FLAIR MRI.
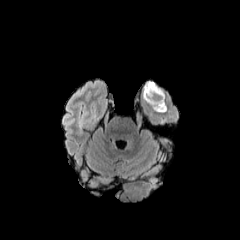
T1-weighted MR image.
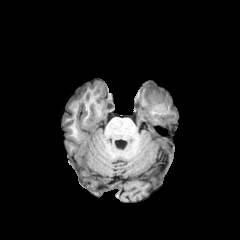
Post-contrast T1-weighted MR image.
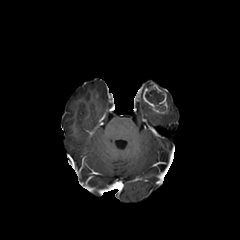
T2-weighted magnetic resonance.
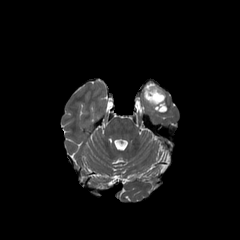
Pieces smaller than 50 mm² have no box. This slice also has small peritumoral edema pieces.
enhancing tumor: x1=142 y1=82 x2=167 y2=113 | necrotic tumor core: x1=145 y1=89 x2=164 y2=104